240x240 | Head | Axial view
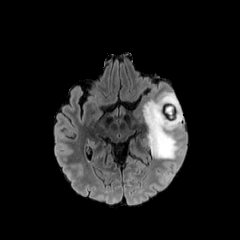
FLAIR MRI.
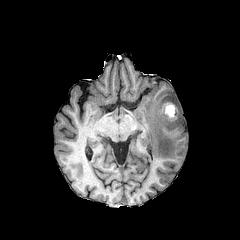
T1-weighted MRI.
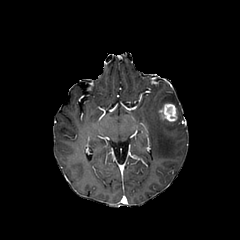
Post-contrast T1-weighted MR image.
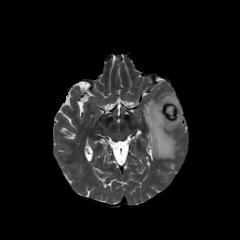
T2-weighted magnetic resonance of the same slice.
Findings:
• necrotic tumor core: <box>166,106,175,118</box>
• peritumoral edema: <box>142,90,183,159</box>
• enhancing tumor: <box>158,103,177,122</box>